FLAIR MR image.
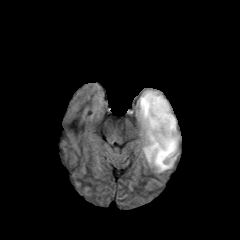
T1-weighted MRI.
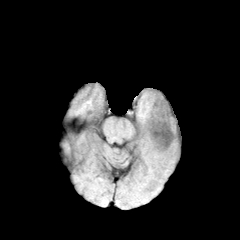
Post-contrast T1-weighted magnetic resonance.
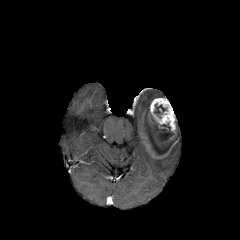
T2-weighted MR image.
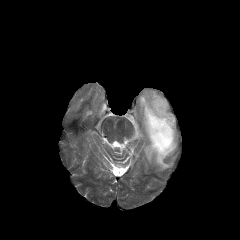
Image size 240x240
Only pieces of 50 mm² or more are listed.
enhancing tumor: 140, 97, 178, 159 | peritumoral edema: 142, 141, 178, 172; 134, 90, 162, 132 | necrotic tumor core: 146, 111, 176, 155